Image width 240 mm; Axial slice
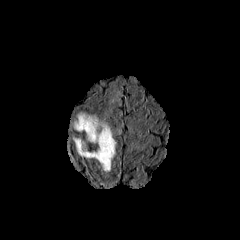
FLAIR MR.
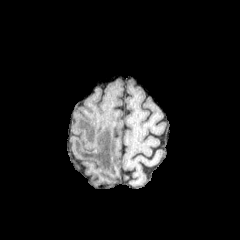
T1-weighted MR of the same slice.
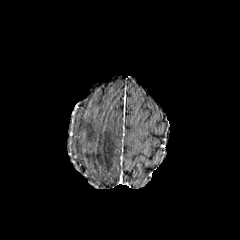
Post-contrast T1-weighted magnetic resonance.
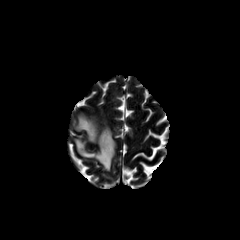
T2-weighted MR.
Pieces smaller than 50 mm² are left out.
peritumoral edema: bbox=[72, 111, 116, 171]